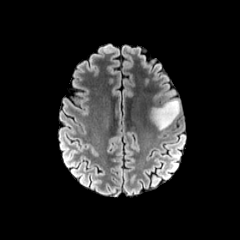
FLAIR MR image.
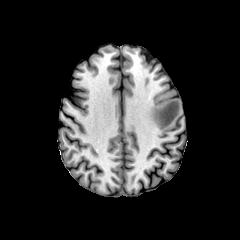
T1-weighted MRI of the same slice.
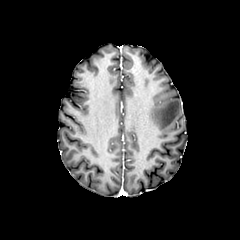
Post-contrast T1-weighted MR image.
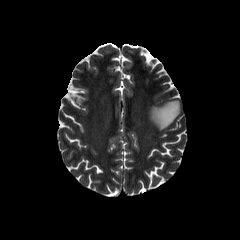
Same slice, T2-weighted MR.
240x240 px; Axial plane; Head
peritumoral edema: 150:100:179:130